FLAIR MRI.
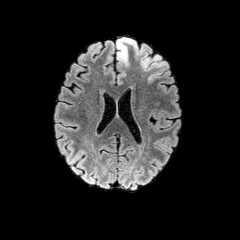
T1-weighted MR image.
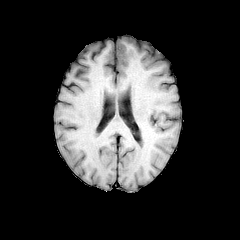
Post-contrast T1-weighted MRI.
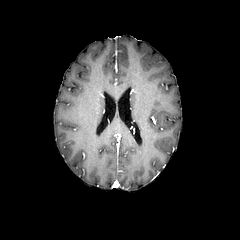
T2-weighted MR.
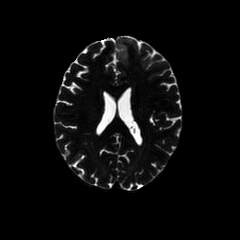
Axial view
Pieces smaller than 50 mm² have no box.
peritumoral_edema:
  - left=116, top=37, right=140, bottom=65